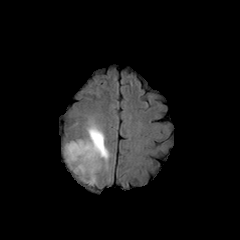
FLAIR MR image.
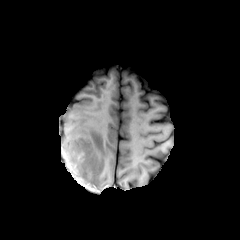
T1-weighted MR image.
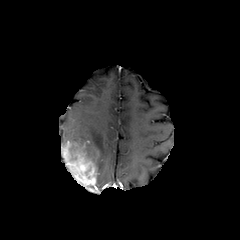
Same slice, post-contrast T1-weighted MR image.
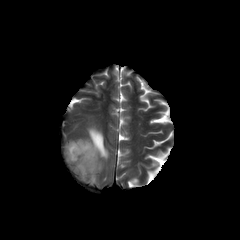
T2-weighted MR image of the same slice.
240x240 px.
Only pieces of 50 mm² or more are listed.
peritumoral edema: <bbox>70, 122, 110, 172</bbox> | enhancing tumor: <bbox>62, 140, 98, 185</bbox>